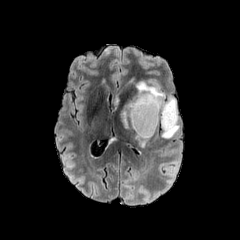
FLAIR magnetic resonance.
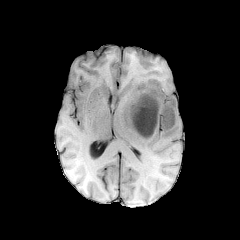
Same slice, T1-weighted MR.
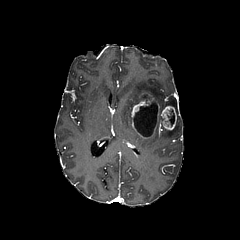
Post-contrast T1-weighted MR of the same slice.
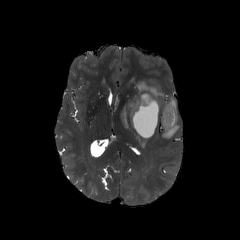
T2-weighted MR of the same slice.
Axial view | Brain | Image size 240x240
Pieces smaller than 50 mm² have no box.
peritumoral edema at l=120, t=81, r=179, b=138; l=135, t=136, r=149, b=147
necrotic tumor core at l=133, t=101, r=158, b=137; l=168, t=109, r=174, b=126
enhancing tumor at l=157, t=103, r=176, b=130; l=131, t=94, r=156, b=131